Slice 135 of 155, Image width 240 mm, 1.00 mm slice spacing, Head, Axial plane
FLAIR magnetic resonance.
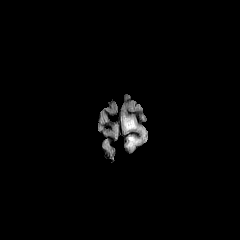
T1-weighted magnetic resonance.
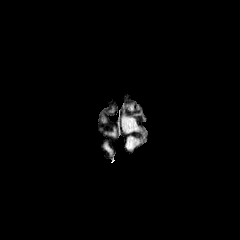
Post-contrast T1-weighted magnetic resonance.
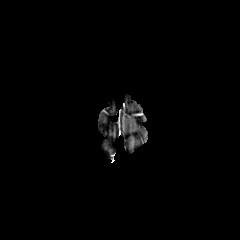
T2-weighted MRI.
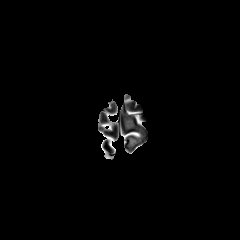
peritumoral edema — x1=125 y1=120 x2=135 y2=129, x1=128 y1=137 x2=137 y2=146